FLAIR MR.
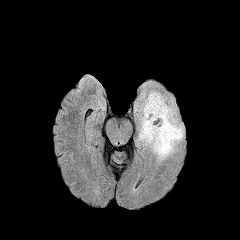
T1-weighted MRI.
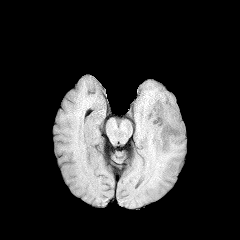
Post-contrast T1-weighted MR image.
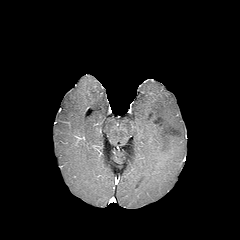
T2-weighted MR image.
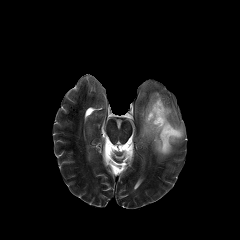
{"peritumoral_edema": ["[x1=138, y1=91, x2=184, y2=161]"]}